Slice 58/155; 240x240 px
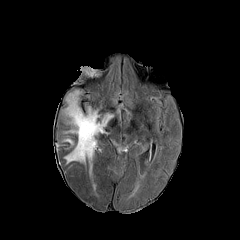
FLAIR MRI.
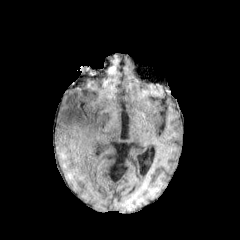
Same slice, T1-weighted MR.
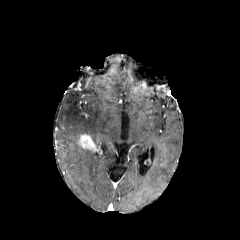
Post-contrast T1-weighted magnetic resonance of the same slice.
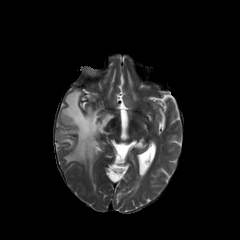
T2-weighted MR image of the same slice.
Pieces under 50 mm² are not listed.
{"peritumoral_edema": ["<box>65,143,94,172</box>", "<box>63,90,113,145</box>"], "enhancing_tumor": ["<box>78,134,100,152</box>"]}